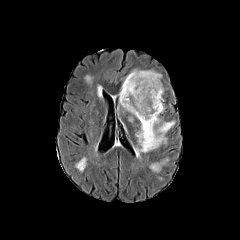
FLAIR magnetic resonance.
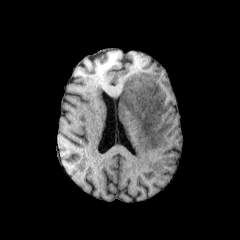
T1-weighted MR.
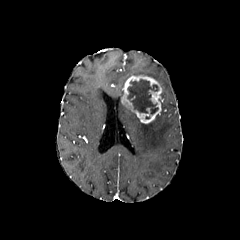
Same slice, post-contrast T1-weighted MR.
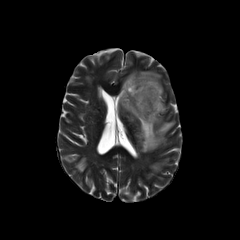
T2-weighted MR image.
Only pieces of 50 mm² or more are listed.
enhancing tumor: {"x1": 121, "y1": 75, "x2": 163, "y2": 123}
peritumoral edema: {"x1": 118, "y1": 69, "x2": 163, "y2": 95}, {"x1": 119, "y1": 97, "x2": 136, "y2": 121}, {"x1": 136, "y1": 115, "x2": 175, "y2": 156}
necrotic tumor core: {"x1": 128, "y1": 79, "x2": 158, "y2": 114}